FLAIR MR image.
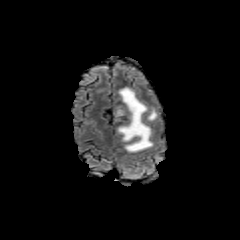
T1-weighted MR image.
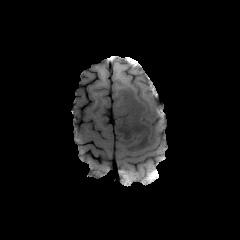
Post-contrast T1-weighted MRI.
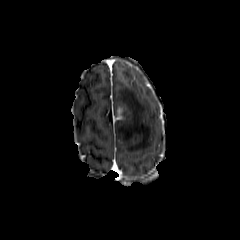
T2-weighted magnetic resonance.
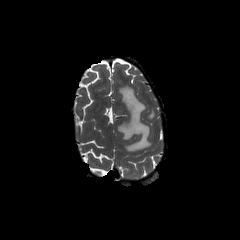
Image size 240x240 | Axial view
- peritumoral edema: 115:86:152:152, 147:108:156:120
- enhancing tumor: 115:108:124:120